Axial view | Head
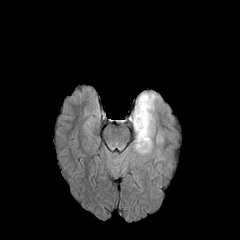
FLAIR MR.
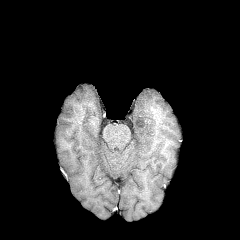
T1-weighted MR image.
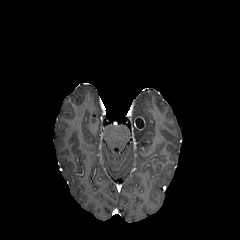
Same slice, post-contrast T1-weighted MR.
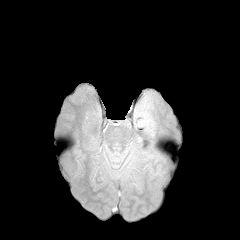
T2-weighted magnetic resonance.
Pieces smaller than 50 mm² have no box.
{
  "enhancing_tumor": [
    "134,116,145,130"
  ],
  "necrotic_tumor_core": [
    "135,117,144,128"
  ],
  "peritumoral_edema": [
    "132,92,158,154"
  ]
}